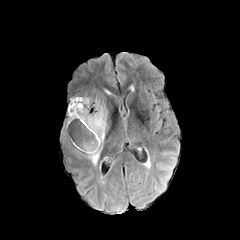
FLAIR MRI.
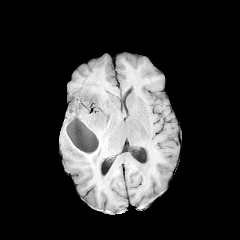
T1-weighted MR.
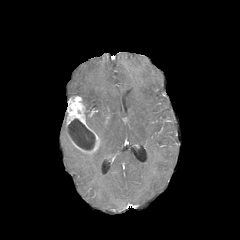
Same slice, post-contrast T1-weighted MR.
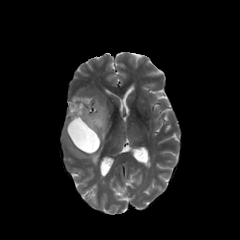
Same slice, T2-weighted magnetic resonance.
Brain
enhancing_tumor:
  - 66,96,100,154
necrotic_tumor_core:
  - 68,119,95,150
peritumoral_edema:
  - 82,96,109,163